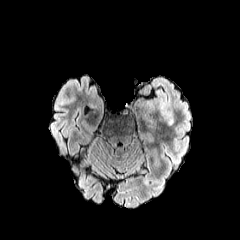
FLAIR MR.
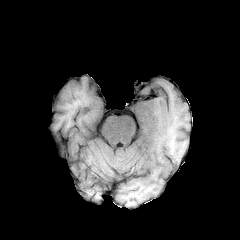
T1-weighted MR image.
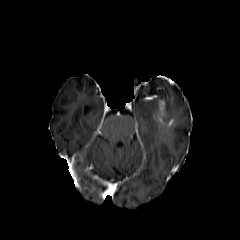
Post-contrast T1-weighted MR of the same slice.
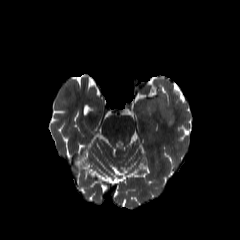
T2-weighted MR.
240x240, Axial plane, Head
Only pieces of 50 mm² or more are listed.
The largest enhancing tumor region appears at region(159, 100, 165, 121). The largest peritumoral edema region is located at region(161, 103, 171, 124).